FLAIR MR image.
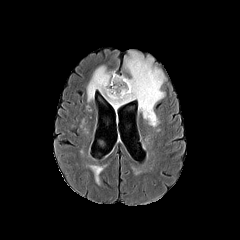
T1-weighted magnetic resonance.
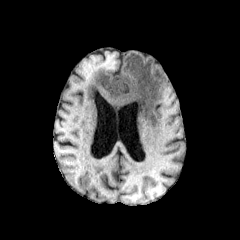
Post-contrast T1-weighted MRI.
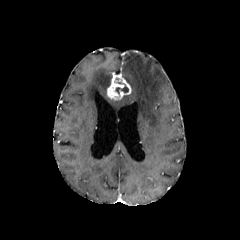
T2-weighted MR image.
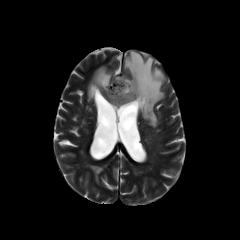
Brain. Axial view.
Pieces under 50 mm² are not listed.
The enhancing tumor is at bbox=[107, 72, 131, 100]. The 2 largest peritumoral edema regions are bounded by bbox=[87, 51, 165, 126]; bbox=[91, 166, 102, 184]. The largest necrotic tumor core region lies within bbox=[116, 85, 128, 94].